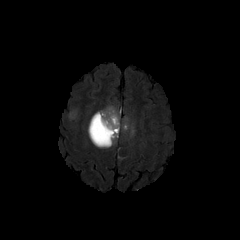
FLAIR MR image.
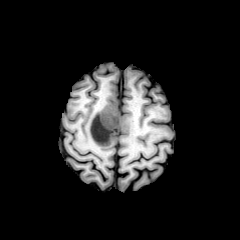
T1-weighted MR.
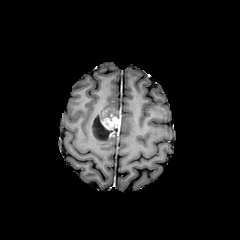
Post-contrast T1-weighted MRI.
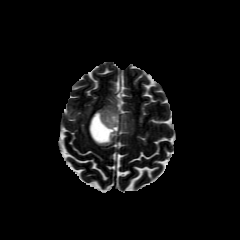
T2-weighted MR image.
240x240 px | Brain
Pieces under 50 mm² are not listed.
The 3 largest peritumoral edema regions are bounded by x1=91, y1=105, x2=120, y2=119; x1=88, y1=120, x2=117, y2=147; x1=70, y1=108, x2=79, y2=118. The necrotic tumor core is located at x1=92, y1=113, x2=112, y2=141. The enhancing tumor is at x1=90, y1=112, x2=120, y2=143.